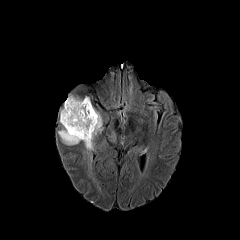
FLAIR MR.
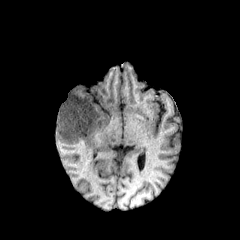
T1-weighted MRI.
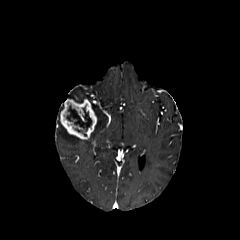
Post-contrast T1-weighted MR.
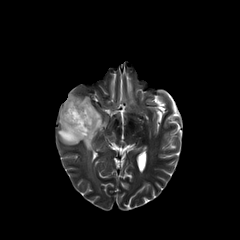
T2-weighted MRI of the same slice.
Head, Axial slice
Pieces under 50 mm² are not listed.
- peritumoral edema: box=[58, 106, 102, 176]
- enhancing tumor: box=[60, 98, 96, 139]
- necrotic tumor core: box=[66, 105, 91, 131]